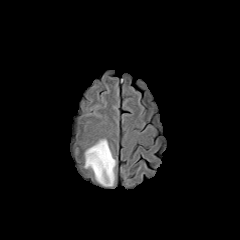
FLAIR magnetic resonance.
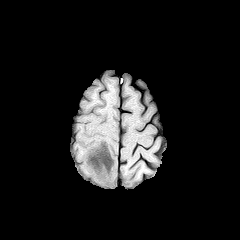
T1-weighted magnetic resonance of the same slice.
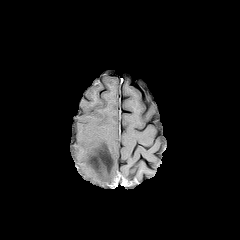
Same slice, post-contrast T1-weighted MRI.
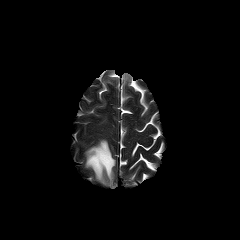
Same slice, T2-weighted magnetic resonance.
Axial view
{
  "peritumoral_edema": [
    "bbox(85, 139, 115, 185)"
  ]
}